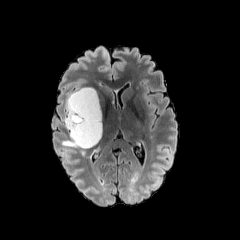
FLAIR MR image.
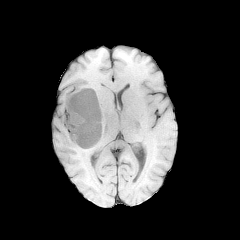
T1-weighted MR of the same slice.
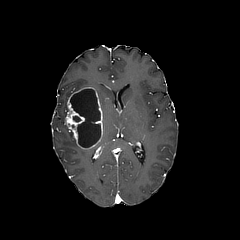
Same slice, post-contrast T1-weighted MR.
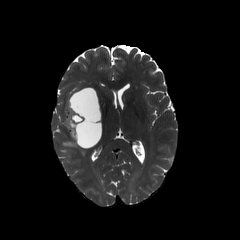
Same slice, T2-weighted magnetic resonance.
Axial plane, Head
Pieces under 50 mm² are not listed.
The enhancing tumor is bounded by (x1=65, y1=87, x2=102, y2=149). The largest necrotic tumor core region appears at (x1=70, y1=89, x2=100, y2=147). The largest peritumoral edema region appears at (x1=62, y1=131, x2=79, y2=147).